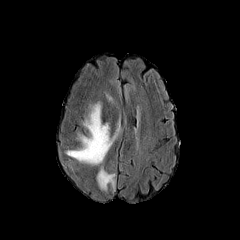
FLAIR MR image.
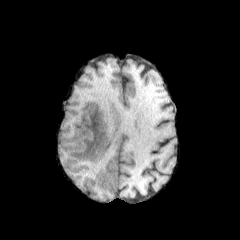
T1-weighted MRI of the same slice.
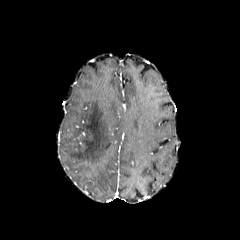
Post-contrast T1-weighted MRI.
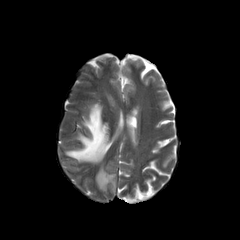
T2-weighted MRI.
Brain. Axial slice. 240x240 px.
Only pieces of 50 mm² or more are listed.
peritumoral_edema:
  - (x1=64, y1=102, x2=121, y2=166)
  - (x1=97, y1=166, x2=116, y2=191)